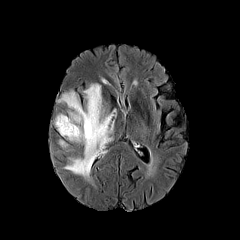
FLAIR magnetic resonance.
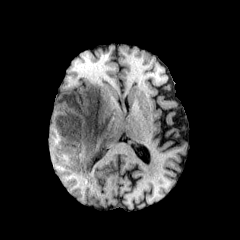
T1-weighted magnetic resonance of the same slice.
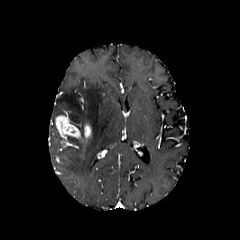
Same slice, post-contrast T1-weighted MR.
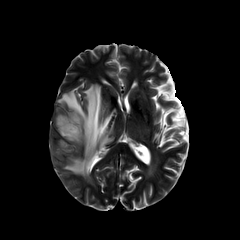
Same slice, T2-weighted MRI.
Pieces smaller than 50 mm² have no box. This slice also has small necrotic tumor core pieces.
The largest enhancing tumor region lies within {"x1": 55, "y1": 115, "x2": 91, "y2": 142}. The largest peritumoral edema region is located at {"x1": 57, "y1": 84, "x2": 116, "y2": 180}.